FLAIR MR.
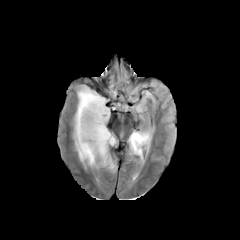
T1-weighted magnetic resonance.
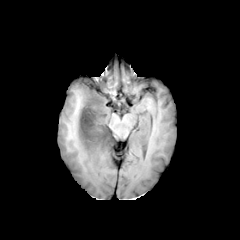
Post-contrast T1-weighted magnetic resonance.
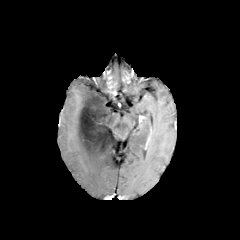
T2-weighted MR.
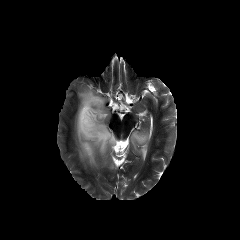
Axial plane
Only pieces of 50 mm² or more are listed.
necrotic_tumor_core:
  - <bbox>79, 94, 113, 148</bbox>
peritumoral_edema:
  - <bbox>74, 87, 115, 169</bbox>
  - <bbox>129, 131, 150, 156</bbox>